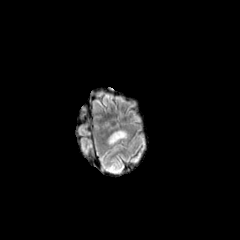
FLAIR MR.
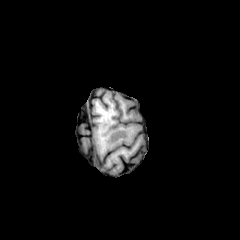
T1-weighted MRI.
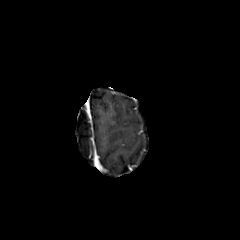
Same slice, post-contrast T1-weighted MRI.
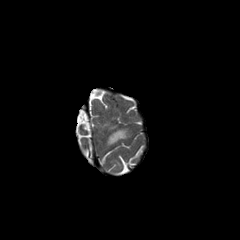
T2-weighted MR of the same slice.
Image size 240x240; Brain
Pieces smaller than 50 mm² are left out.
Segmented structures:
* peritumoral edema: [108, 130, 128, 144]